FLAIR MR image.
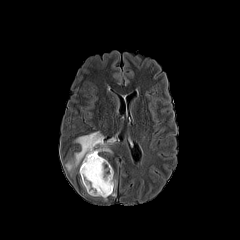
T1-weighted MR.
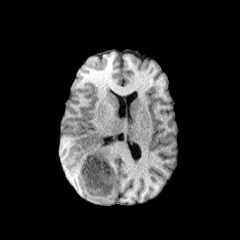
Post-contrast T1-weighted MR image.
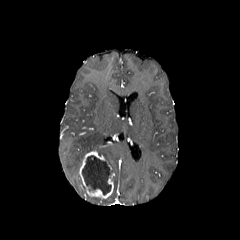
T2-weighted magnetic resonance.
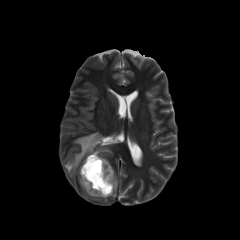
Axial plane | Head
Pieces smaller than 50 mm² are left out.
The largest peritumoral edema region appears at rect(65, 131, 112, 172). The enhancing tumor is at rect(79, 150, 114, 198). The necrotic tumor core is located at rect(82, 155, 111, 194).